Slice 46/155 | Image width 240 mm, 1.00 mm slice spacing
FLAIR MR image.
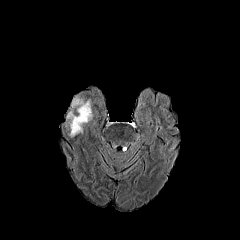
T1-weighted MRI.
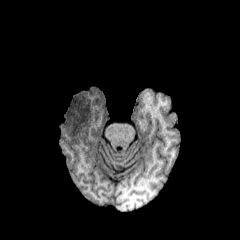
Post-contrast T1-weighted MRI.
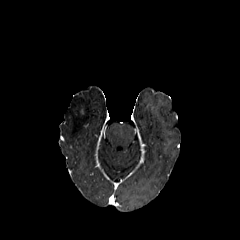
T2-weighted MR image.
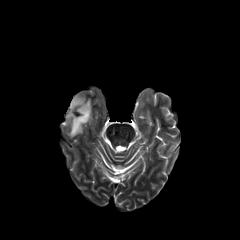
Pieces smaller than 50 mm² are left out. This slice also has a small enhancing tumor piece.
The peritumoral edema is at <box>66,96,92,137</box>.